FLAIR MRI.
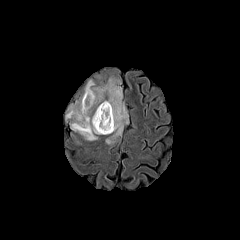
T1-weighted MR.
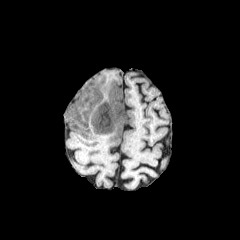
Post-contrast T1-weighted MRI.
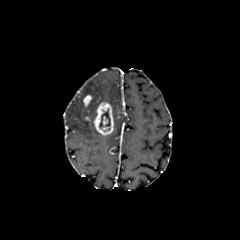
T2-weighted magnetic resonance.
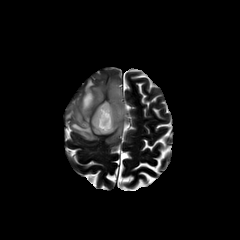
Image size 240x240 | Axial slice
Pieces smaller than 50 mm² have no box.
Annotated regions:
• peritumoral edema: 65 78 128 144
• enhancing tumor: 83 95 92 107, 93 102 114 135
• necrotic tumor core: 99 111 110 127